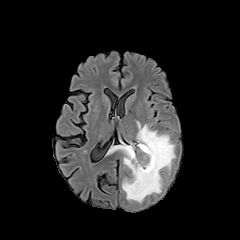
FLAIR MRI.
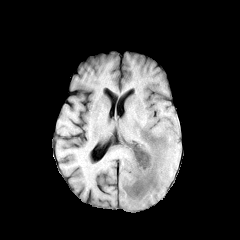
T1-weighted magnetic resonance.
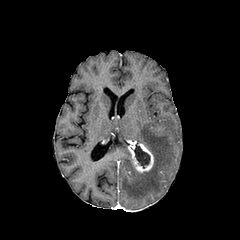
Post-contrast T1-weighted MRI.
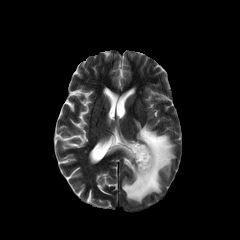
T2-weighted MR of the same slice.
Head, 240x240, Axial view
The necrotic tumor core is at rect(134, 144, 150, 168). The enhancing tumor appears at rect(128, 143, 153, 173). The peritumoral edema appears at rect(111, 122, 175, 202).